Head | Image width 240 mm, 1.00 mm slice spacing | Axial plane
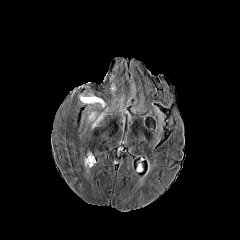
FLAIR MR image.
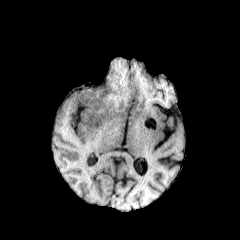
T1-weighted MR.
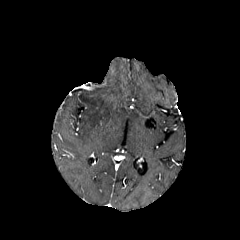
Post-contrast T1-weighted MR image.
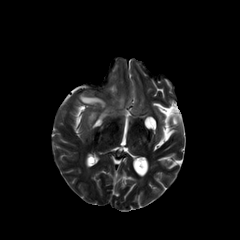
T2-weighted MR image of the same slice.
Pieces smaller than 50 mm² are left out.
peritumoral edema: (80, 95, 104, 106)